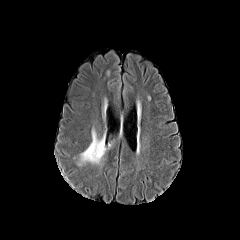
FLAIR magnetic resonance.
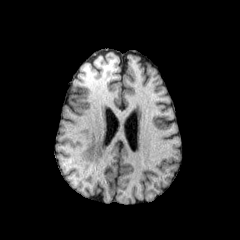
T1-weighted MR.
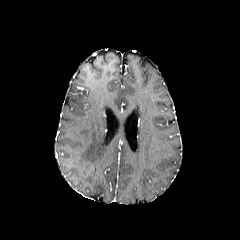
Same slice, post-contrast T1-weighted magnetic resonance.
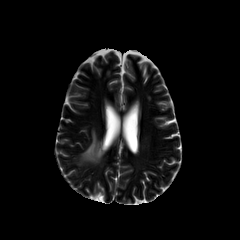
T2-weighted MR.
Head; Axial view; 240x240 px
peritumoral edema: rect(78, 128, 106, 165)